Slice 62 of 155.
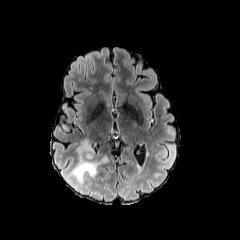
FLAIR magnetic resonance.
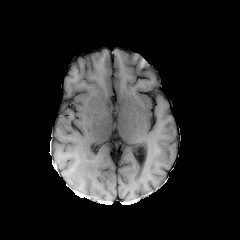
Same slice, T1-weighted MR.
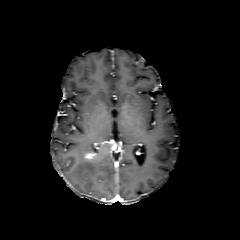
Post-contrast T1-weighted magnetic resonance.
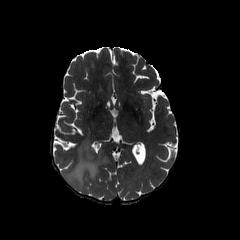
T2-weighted MR image.
peritumoral edema: bbox(71, 137, 109, 183) | enhancing tumor: bbox(85, 153, 95, 158)